Brain.
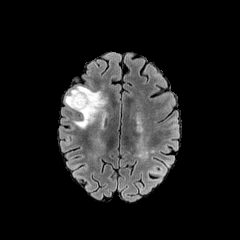
FLAIR MR image.
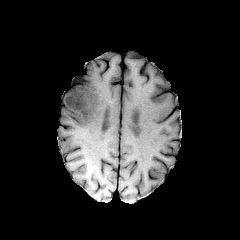
T1-weighted magnetic resonance of the same slice.
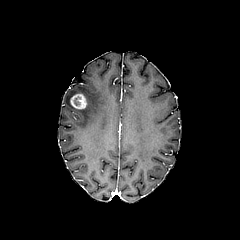
Post-contrast T1-weighted MRI of the same slice.
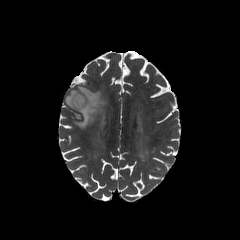
T2-weighted MR of the same slice.
peritumoral edema: 64,85,105,128
enhancing tumor: 69,93,87,109